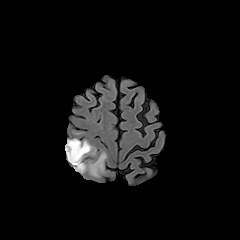
FLAIR MRI.
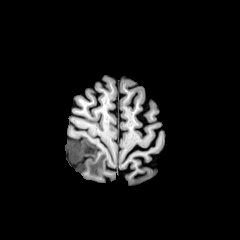
T1-weighted magnetic resonance of the same slice.
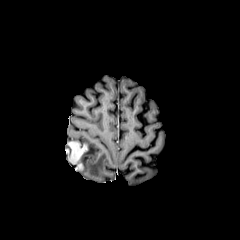
Post-contrast T1-weighted magnetic resonance.
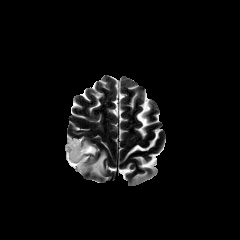
T2-weighted MRI.
Axial slice, Brain
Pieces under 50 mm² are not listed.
Findings:
• enhancing tumor: box(67, 141, 87, 170)
• peritumoral edema: box(65, 144, 71, 161); box(67, 138, 106, 176)